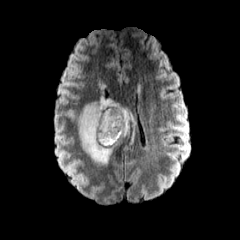
FLAIR magnetic resonance.
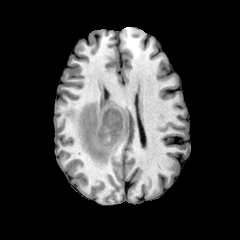
T1-weighted magnetic resonance.
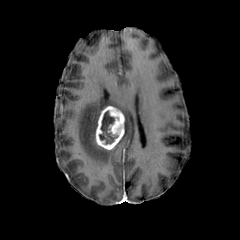
Same slice, post-contrast T1-weighted magnetic resonance.
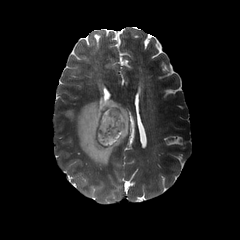
T2-weighted MR.
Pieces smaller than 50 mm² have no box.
<segmentation>
  <enhancing_tumor>[95, 106, 124, 150]</enhancing_tumor>
  <peritumoral_edema>[66, 110, 74, 118], [77, 79, 135, 164]</peritumoral_edema>
  <necrotic_tumor_core>[99, 110, 117, 144]</necrotic_tumor_core>
</segmentation>